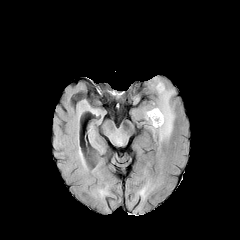
FLAIR MRI.
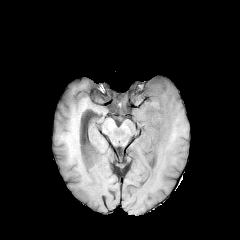
T1-weighted MR image of the same slice.
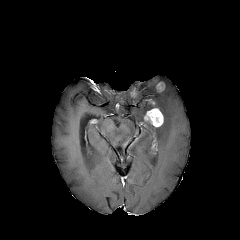
Same slice, post-contrast T1-weighted magnetic resonance.
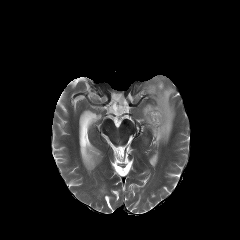
T2-weighted MRI.
Axial slice | Brain
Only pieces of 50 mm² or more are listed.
The largest peritumoral edema region appears at bbox(143, 78, 174, 142). The 2 largest enhancing tumor regions appear at bbox(144, 108, 163, 127); bbox(156, 81, 164, 91).